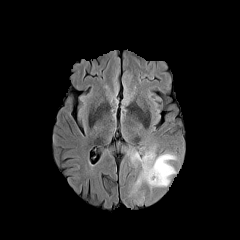
FLAIR MR.
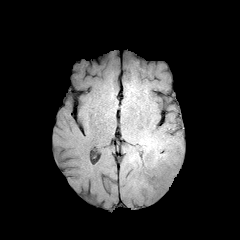
Same slice, T1-weighted MR image.
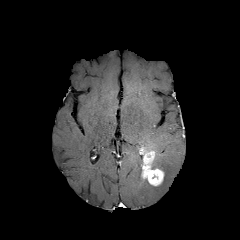
Post-contrast T1-weighted MRI.
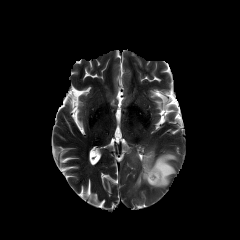
T2-weighted MR image of the same slice.
240x240
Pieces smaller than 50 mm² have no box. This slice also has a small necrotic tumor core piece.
enhancing tumor: 140, 149, 164, 186 | peritumoral edema: 131, 151, 142, 164; 132, 152, 177, 192